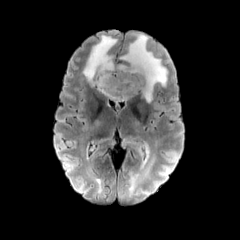
FLAIR magnetic resonance.
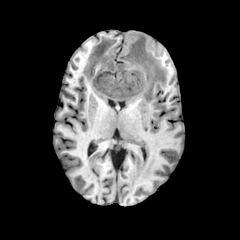
T1-weighted MR image of the same slice.
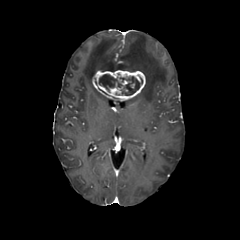
Post-contrast T1-weighted MR.
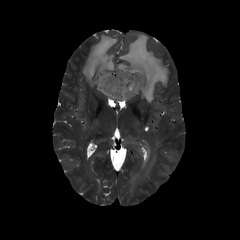
T2-weighted MR.
Axial view.
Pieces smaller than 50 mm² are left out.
enhancing tumor: 92:70:145:100
peritumoral edema: 129:142:155:197, 83:33:167:102
necrotic tumor core: 99:74:117:90, 120:76:142:95